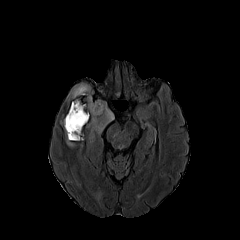
FLAIR magnetic resonance.
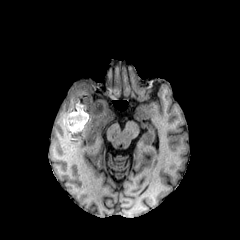
T1-weighted MRI.
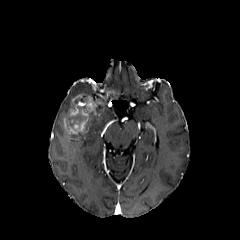
Post-contrast T1-weighted MRI of the same slice.
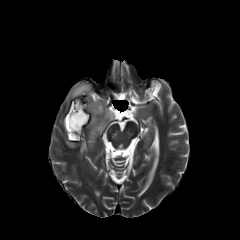
T2-weighted MR image.
240x240 px
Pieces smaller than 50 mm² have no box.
enhancing_tumor:
  - [x1=64, y1=94, x2=103, y2=135]
necrotic_tumor_core:
  - [x1=72, y1=96, x2=86, y2=109]
  - [x1=66, y1=106, x2=87, y2=129]
peritumoral_edema:
  - [x1=67, y1=83, x2=91, y2=100]
  - [x1=64, y1=128, x2=83, y2=147]
  - [x1=88, y1=101, x2=114, y2=133]